FLAIR MR image.
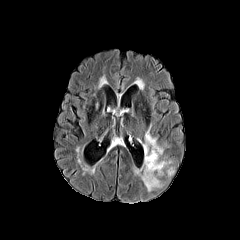
T1-weighted MRI.
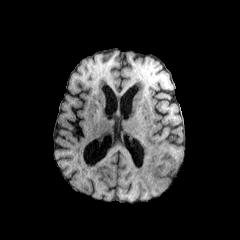
Post-contrast T1-weighted MRI.
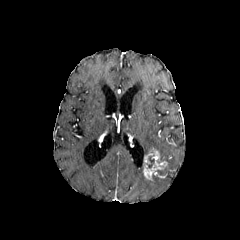
T2-weighted MRI.
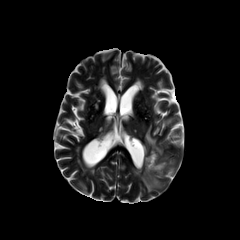
Head | Axial plane
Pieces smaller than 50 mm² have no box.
<segmentation>
  <enhancing_tumor>region(143, 148, 167, 180)</enhancing_tumor>
  <necrotic_tumor_core>region(147, 156, 154, 168)</necrotic_tumor_core>
  <peritumoral_edema>region(134, 166, 161, 191); region(143, 126, 163, 155)</peritumoral_edema>
</segmentation>